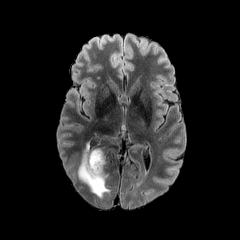
FLAIR MR image.
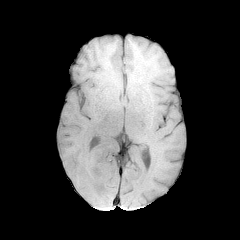
T1-weighted MR of the same slice.
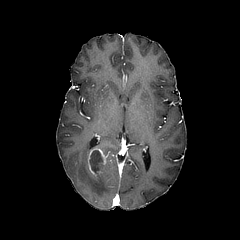
Post-contrast T1-weighted MRI.
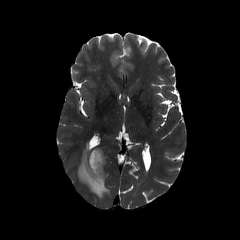
T2-weighted MR of the same slice.
Axial view, Brain
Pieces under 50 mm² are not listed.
peritumoral edema: x1=77 y1=143 x2=109 y2=197
necrotic tumor core: x1=89 y1=150 x2=102 y2=173
enhancing tumor: x1=87 y1=148 x2=106 y2=178